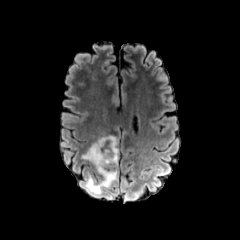
FLAIR MR.
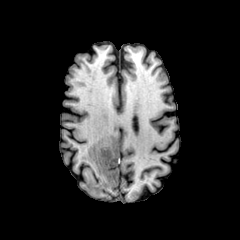
T1-weighted MR of the same slice.
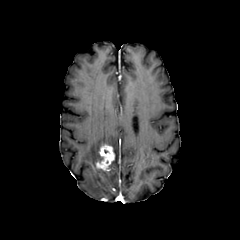
Post-contrast T1-weighted MR.
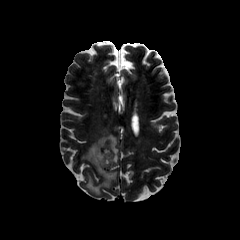
Same slice, T2-weighted MRI.
Brain
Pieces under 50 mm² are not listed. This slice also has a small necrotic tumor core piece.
The peritumoral edema appears at (81, 135, 118, 195). The enhancing tumor is bounded by (96, 144, 115, 171).